240x240 px. Image covers 240 mm x 240 mm. Axial plane. Head.
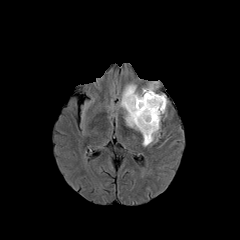
FLAIR MRI.
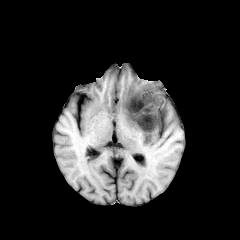
T1-weighted MR.
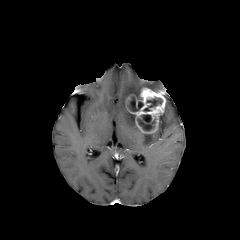
Post-contrast T1-weighted MR.
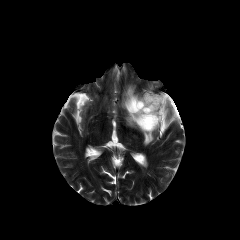
T2-weighted MR image.
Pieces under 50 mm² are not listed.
enhancing_tumor:
  - (x1=125, y1=88, x2=166, y2=133)
necrotic_tumor_core:
  - (x1=137, y1=114, x2=154, y2=130)
  - (x1=129, y1=97, x2=143, y2=111)
  - (x1=143, y1=98, x2=162, y2=111)
peritumoral_edema:
  - (x1=120, y1=84, x2=139, y2=130)
  - (x1=144, y1=81, x2=158, y2=90)
  - (x1=142, y1=122, x2=159, y2=146)